Image size 240x240; Image width 240 mm, 1.00 mm slice spacing
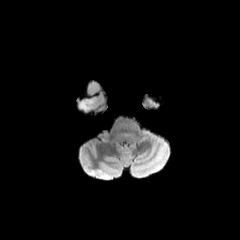
FLAIR MR.
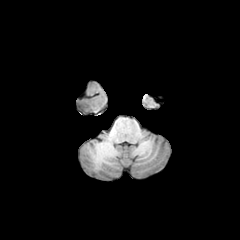
T1-weighted magnetic resonance of the same slice.
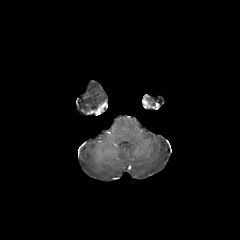
Post-contrast T1-weighted MR.
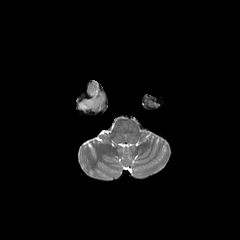
T2-weighted MRI.
The peritumoral edema is bounded by (79,98,97,109).